Slice 67/155.
FLAIR magnetic resonance.
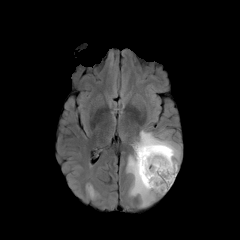
T1-weighted MRI.
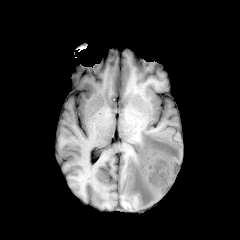
Post-contrast T1-weighted MR.
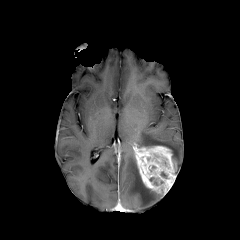
T2-weighted MR.
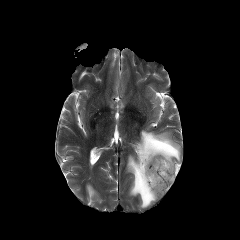
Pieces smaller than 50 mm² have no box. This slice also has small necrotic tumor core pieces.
enhancing tumor: bounding box left=133, top=144, right=177, bottom=194
peritumoral edema: bounding box left=126, top=153, right=163, bottom=207; left=133, top=130, right=181, bottom=170